FLAIR MR.
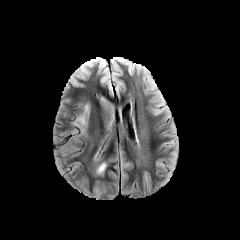
T1-weighted MR.
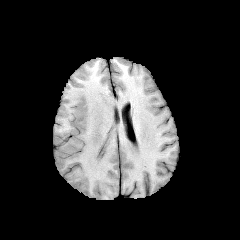
Post-contrast T1-weighted MR.
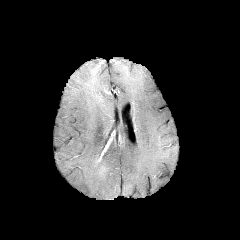
T2-weighted magnetic resonance.
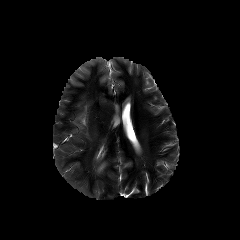
Axial plane
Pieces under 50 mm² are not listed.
peritumoral_edema:
  - bbox(75, 104, 89, 133)
  - bbox(97, 162, 106, 173)